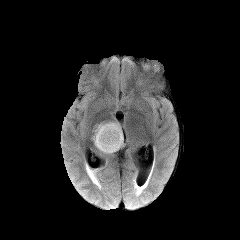
FLAIR MR image.
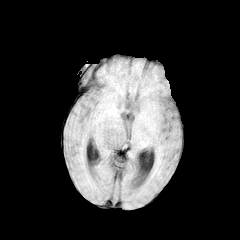
Same slice, T1-weighted magnetic resonance.
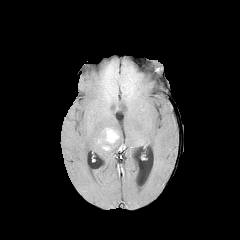
Same slice, post-contrast T1-weighted magnetic resonance.
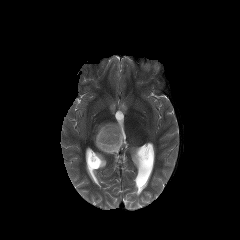
Same slice, T2-weighted MRI.
Brain, Axial slice
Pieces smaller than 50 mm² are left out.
Annotated regions:
• peritumoral edema: (x1=93, y1=122, x2=124, y2=153)
• enhancing tumor: (x1=102, y1=128, x2=119, y2=144)